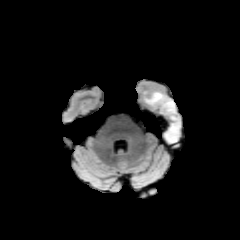
FLAIR MR.
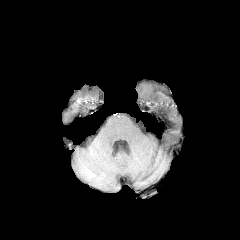
T1-weighted MR image.
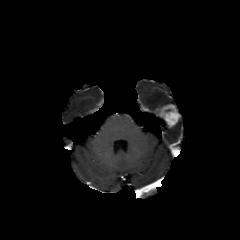
Same slice, post-contrast T1-weighted MRI.
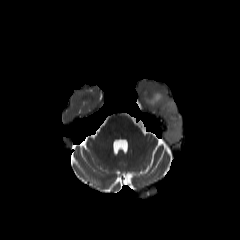
T2-weighted MRI.
Image size 240x240, Brain
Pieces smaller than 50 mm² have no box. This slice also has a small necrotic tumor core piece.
Annotated regions:
• enhancing tumor: (160, 104, 178, 126)
• peritumoral edema: (164, 115, 180, 142), (144, 91, 175, 109)